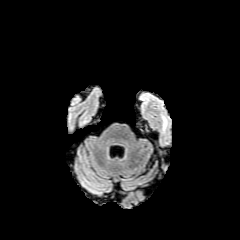
FLAIR magnetic resonance.
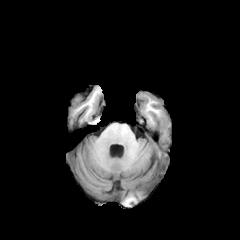
T1-weighted MR.
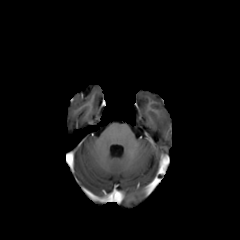
Same slice, post-contrast T1-weighted magnetic resonance.
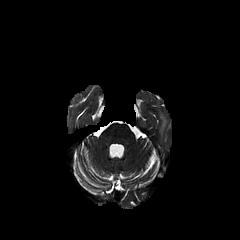
T2-weighted MR image.
Axial plane.
peritumoral edema at <bbox>162, 116, 167, 130</bbox>